Head, Slice 74/155, 240x240 px, Axial slice
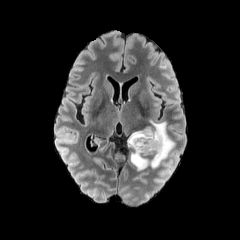
FLAIR MRI.
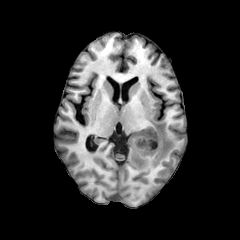
Same slice, T1-weighted MR image.
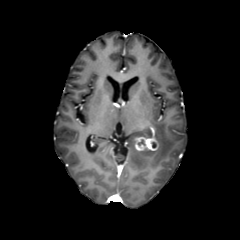
Post-contrast T1-weighted MR.
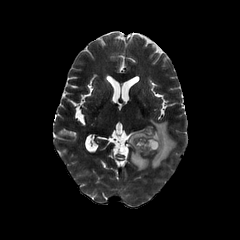
Same slice, T2-weighted MR.
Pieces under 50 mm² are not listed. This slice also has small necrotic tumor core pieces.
* enhancing tumor: bbox=[134, 136, 158, 150]
* peritumoral edema: bbox=[127, 119, 175, 170]